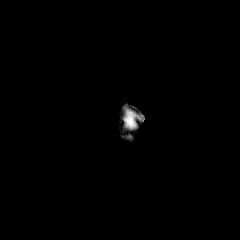
FLAIR MRI.
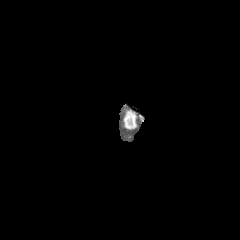
T1-weighted magnetic resonance.
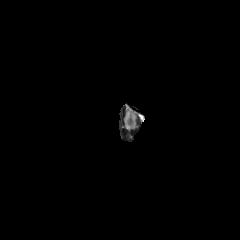
Post-contrast T1-weighted MR.
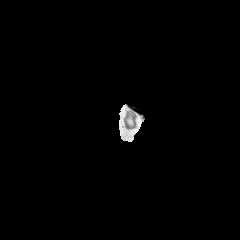
T2-weighted MRI of the same slice.
Image size 240x240. Axial plane.
peritumoral edema: region(126, 112, 134, 126)